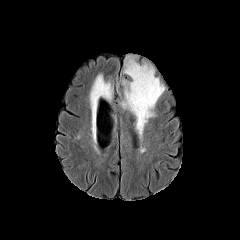
FLAIR magnetic resonance.
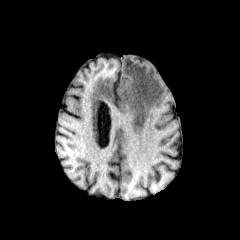
Same slice, T1-weighted MR.
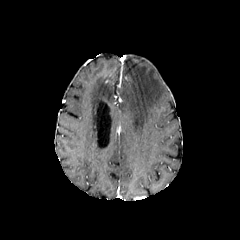
Post-contrast T1-weighted magnetic resonance.
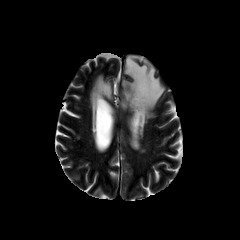
T2-weighted MR image.
Brain | Image size 240x240
peritumoral edema: {"x1": 90, "y1": 73, "x2": 112, "y2": 107}, {"x1": 121, "y1": 57, "x2": 164, "y2": 137}